FLAIR MR.
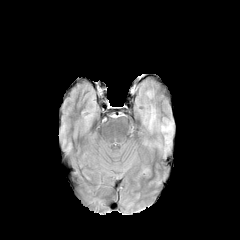
T1-weighted magnetic resonance.
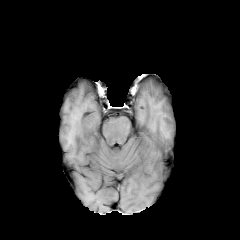
Post-contrast T1-weighted MRI.
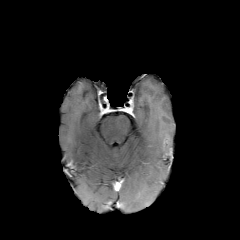
T2-weighted MR.
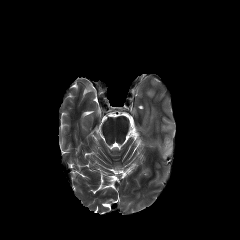
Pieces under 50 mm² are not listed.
The largest peritumoral edema region is at box(165, 138, 170, 150).